Image size 240x240; Slice 112/155
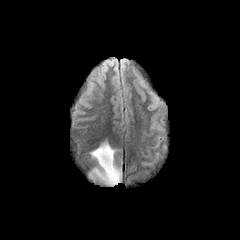
FLAIR magnetic resonance.
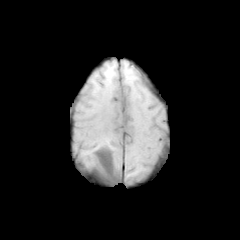
T1-weighted magnetic resonance.
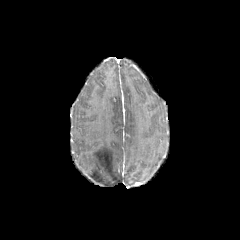
Post-contrast T1-weighted magnetic resonance of the same slice.
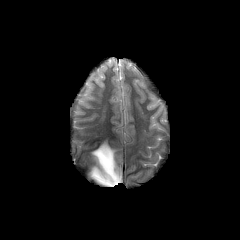
T2-weighted MR.
The peritumoral edema appears at l=89, t=141, r=121, b=186.